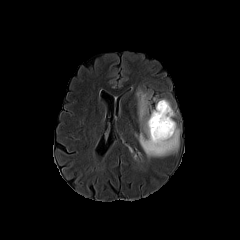
FLAIR MRI.
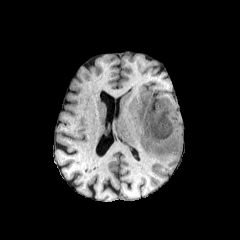
Same slice, T1-weighted MR.
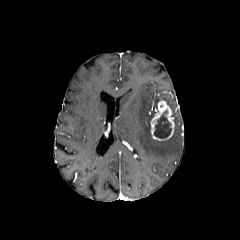
Same slice, post-contrast T1-weighted MR image.
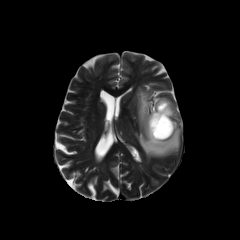
T2-weighted MR of the same slice.
Axial view. Head. 240x240.
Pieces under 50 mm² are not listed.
peritumoral edema — 135 89 180 157, 161 99 175 117
necrotic tumor core — 154 111 171 138
enhancing tumor — 150 100 174 141